Brain; Axial view; Image size 240x240; Image covers 240 mm x 240 mm
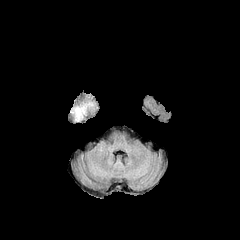
FLAIR MR.
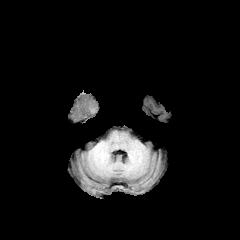
T1-weighted MRI.
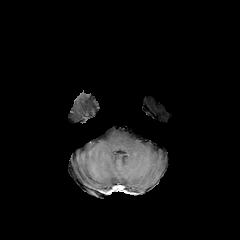
Same slice, post-contrast T1-weighted magnetic resonance.
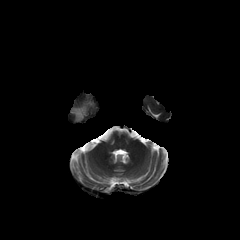
T2-weighted MR image.
peritumoral edema = (71, 102, 93, 121)